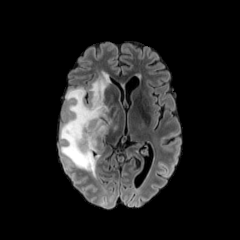
FLAIR MRI.
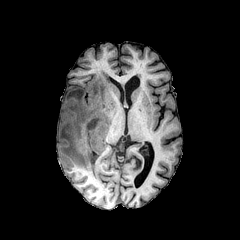
T1-weighted MRI.
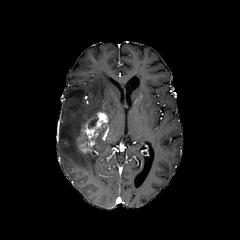
Post-contrast T1-weighted MR of the same slice.
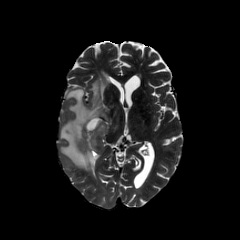
T2-weighted MRI.
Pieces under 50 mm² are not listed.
The 2 largest necrotic tumor core regions are located at 96:123:106:140, 88:119:98:128. The peritumoral edema is located at 60:73:118:179. The enhancing tumor is located at 76:111:109:154.